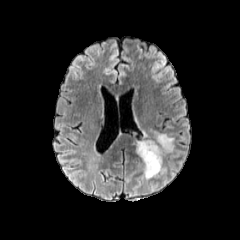
FLAIR magnetic resonance.
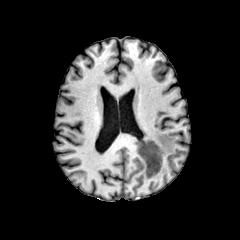
T1-weighted MR of the same slice.
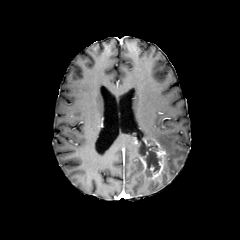
Post-contrast T1-weighted MR image.
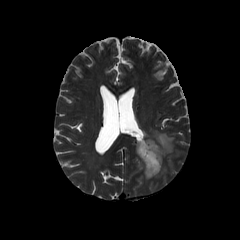
T2-weighted MR.
Axial slice; 240x240
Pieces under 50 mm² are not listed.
* enhancing tumor: [x1=137, y1=139, x2=166, y2=178]
* necrotic tumor core: [x1=140, y1=143, x2=160, y2=176]
* peritumoral edema: [x1=147, y1=131, x2=174, y2=153]